240x240 px, Head
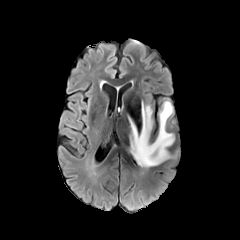
FLAIR magnetic resonance.
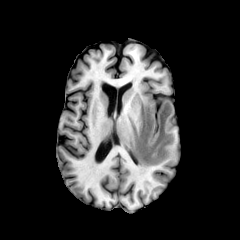
T1-weighted MR.
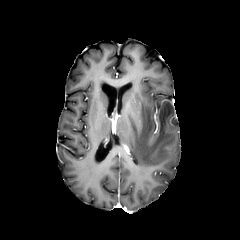
Post-contrast T1-weighted MR image.
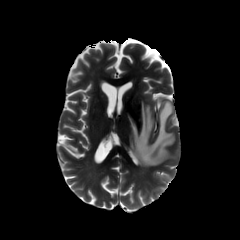
Same slice, T2-weighted MR.
peritumoral edema at <box>129,101,173,168</box>